Slice index 108 | Brain
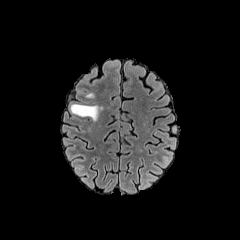
FLAIR MRI.
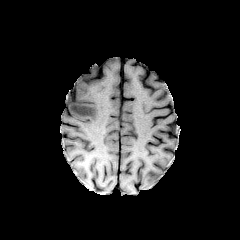
T1-weighted magnetic resonance.
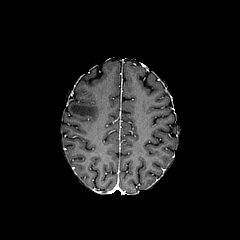
Post-contrast T1-weighted MR of the same slice.
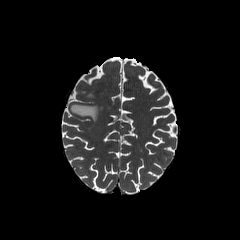
T2-weighted MR.
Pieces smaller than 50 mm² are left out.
The largest peritumoral edema region is at [x1=70, y1=103, x2=101, y2=121].